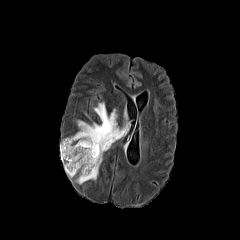
FLAIR MRI.
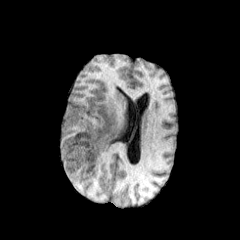
T1-weighted magnetic resonance.
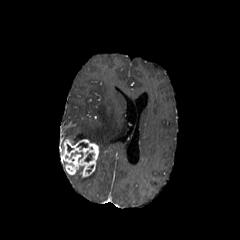
Post-contrast T1-weighted MR image of the same slice.
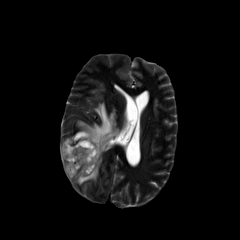
T2-weighted MRI.
Brain
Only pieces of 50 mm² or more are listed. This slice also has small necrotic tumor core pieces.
enhancing tumor — rect(60, 138, 99, 177)
peritumoral edema — rect(70, 102, 130, 184)